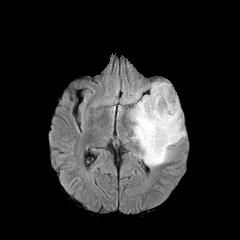
FLAIR magnetic resonance.
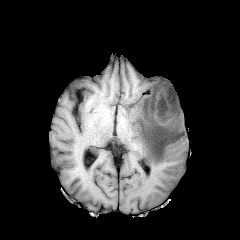
Same slice, T1-weighted MR image.
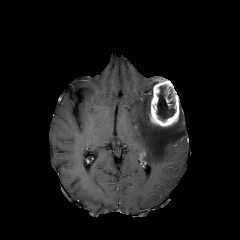
Post-contrast T1-weighted MR of the same slice.
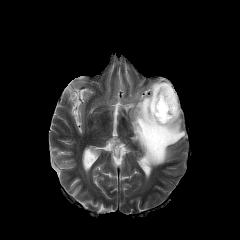
T2-weighted magnetic resonance.
240x240 px
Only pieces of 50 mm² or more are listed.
{"enhancing_tumor": [{"x1": 149, "y1": 79, "x2": 179, "y2": 127}], "peritumoral_edema": [{"x1": 129, "y1": 82, "x2": 185, "y2": 166}], "necrotic_tumor_core": [{"x1": 157, "y1": 86, "x2": 175, "y2": 119}]}